FLAIR MRI.
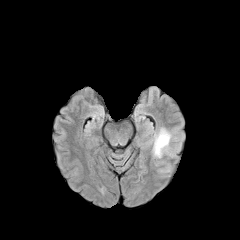
T1-weighted MR image.
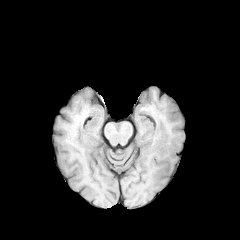
Post-contrast T1-weighted MRI.
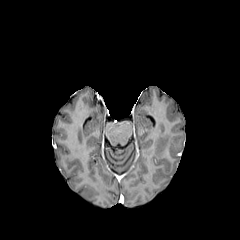
T2-weighted MR image.
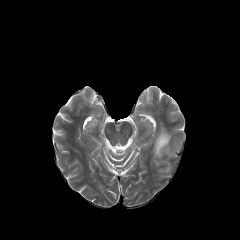
Axial plane. Image size 240x240.
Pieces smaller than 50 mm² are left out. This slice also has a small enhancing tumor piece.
peritumoral edema: l=153, t=128, r=172, b=157